Slice index 105
FLAIR MR.
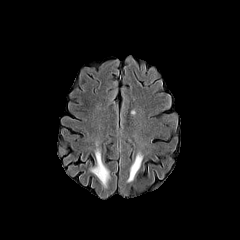
T1-weighted MR.
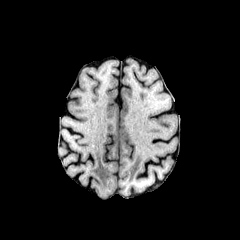
Post-contrast T1-weighted MRI.
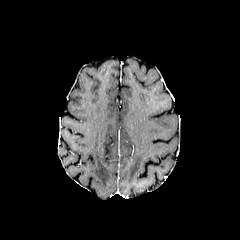
T2-weighted MR image.
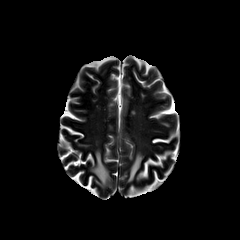
2 peritumoral edema regions are bounded by 127,152,142,182; 90,149,110,187.